FLAIR MRI.
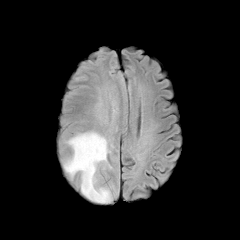
T1-weighted MRI.
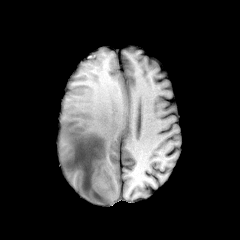
Post-contrast T1-weighted MR.
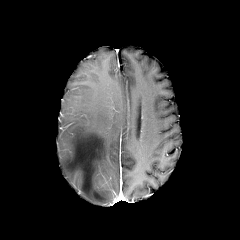
T2-weighted MR image.
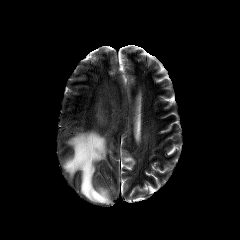
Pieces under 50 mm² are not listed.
peritumoral edema: 63, 131, 111, 203